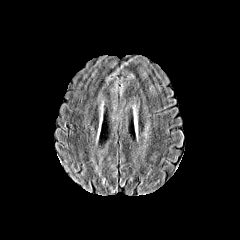
FLAIR MR image.
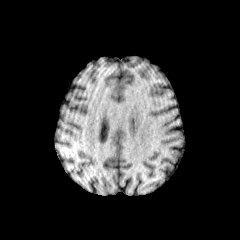
T1-weighted MR of the same slice.
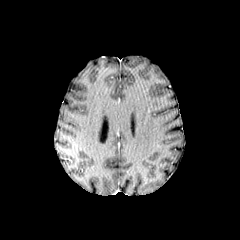
Same slice, post-contrast T1-weighted MR image.
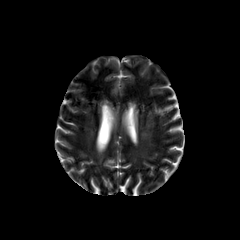
T2-weighted MR.
Axial slice, Head
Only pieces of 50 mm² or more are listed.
peritumoral edema: bounding box bbox=[105, 68, 120, 84]; bbox=[111, 77, 118, 93]; bbox=[119, 76, 125, 96]